FLAIR MR image.
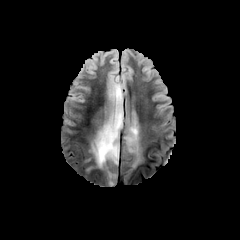
T1-weighted MR image.
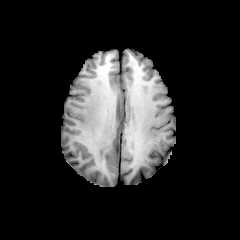
Post-contrast T1-weighted MR.
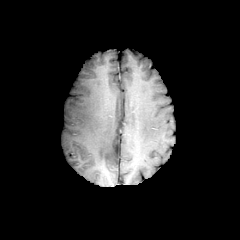
T2-weighted MRI.
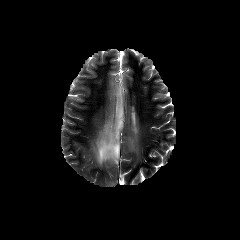
Axial plane, Image size 240x240
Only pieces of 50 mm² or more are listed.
peritumoral_edema:
  - left=92, top=108, right=123, bottom=166
  - left=127, top=127, right=137, bottom=145